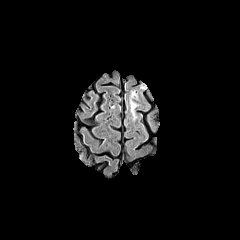
FLAIR MR.
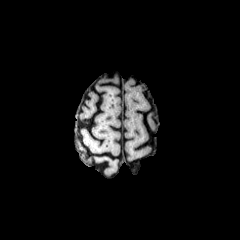
T1-weighted MRI of the same slice.
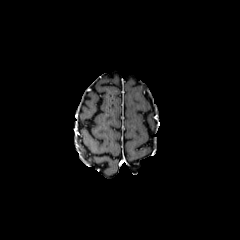
Post-contrast T1-weighted MR image of the same slice.
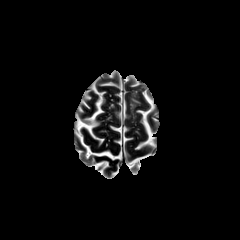
T2-weighted magnetic resonance of the same slice.
240x240 | Axial plane
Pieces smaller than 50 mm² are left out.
<segmentation>
  <peritumoral_edema>130:99:137:119</peritumoral_edema>
</segmentation>